Image width 240 mm, 1.00 mm slice spacing, Slice 99/155, Brain, Axial plane
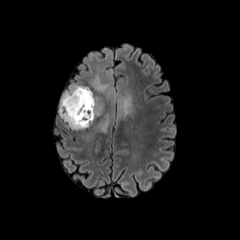
FLAIR magnetic resonance.
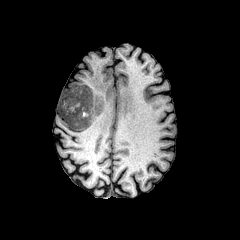
T1-weighted MRI of the same slice.
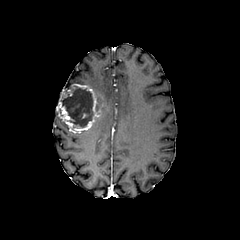
Post-contrast T1-weighted MRI.
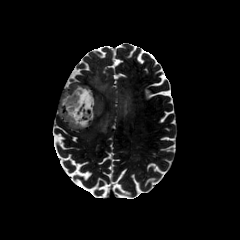
T2-weighted magnetic resonance of the same slice.
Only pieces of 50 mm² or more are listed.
Annotated regions:
* enhancing tumor: 57 84 102 132
* peritumoral edema: 90 57 133 132
* necrotic tumor core: 61 87 93 127